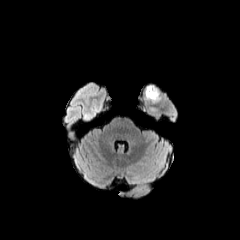
FLAIR MR.
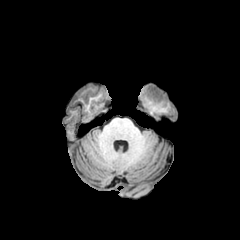
Same slice, T1-weighted magnetic resonance.
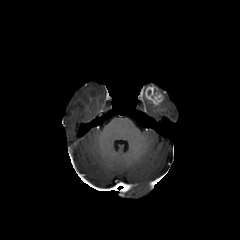
Post-contrast T1-weighted MR image.
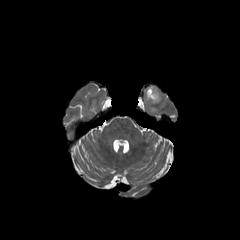
T2-weighted MR of the same slice.
Head. Axial view.
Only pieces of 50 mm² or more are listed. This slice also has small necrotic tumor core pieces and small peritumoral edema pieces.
<segmentation>
  <enhancing_tumor>(144,85,164,105)</enhancing_tumor>
</segmentation>